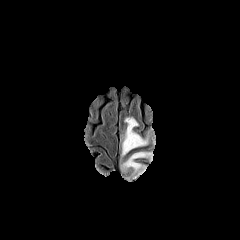
FLAIR MR image.
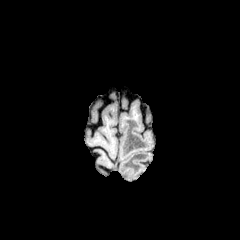
Same slice, T1-weighted MR image.
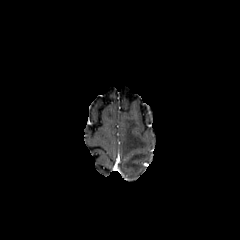
Post-contrast T1-weighted MR.
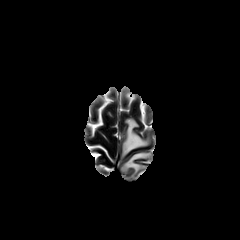
T2-weighted MR image of the same slice.
Axial slice. Brain.
peritumoral_edema:
  - bbox(121, 152, 151, 178)
  - bbox(121, 117, 148, 156)